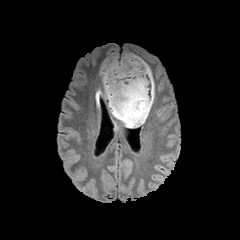
FLAIR magnetic resonance.
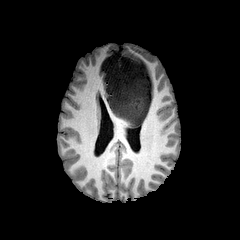
T1-weighted MRI.
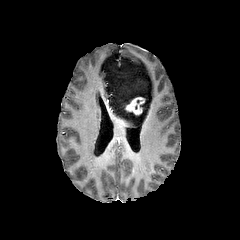
Post-contrast T1-weighted magnetic resonance.
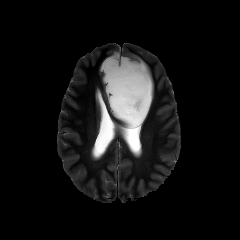
T2-weighted MR image.
Axial view. 240x240.
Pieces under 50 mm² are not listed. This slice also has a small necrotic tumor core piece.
peritumoral_edema:
  - 100 55 154 127
enhancing_tumor:
  - 125 97 144 115